240x240 px, Axial view
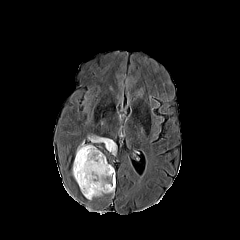
FLAIR MR image.
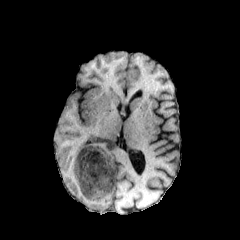
Same slice, T1-weighted MRI.
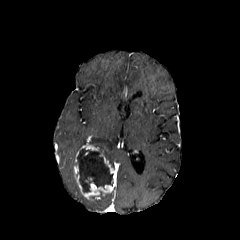
Same slice, post-contrast T1-weighted MRI.
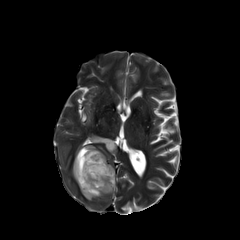
T2-weighted MR image.
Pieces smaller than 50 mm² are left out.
Segmented structures:
- enhancing tumor: box=[73, 144, 115, 199]
- peritumoral edema: box=[91, 135, 116, 155]
- necrotic tumor core: box=[77, 149, 113, 192]